FLAIR MR image.
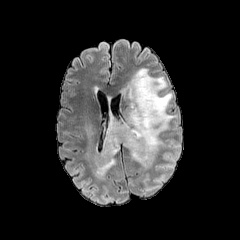
T1-weighted MR image.
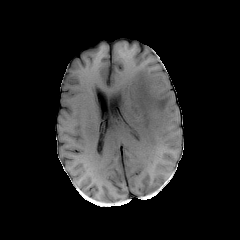
Post-contrast T1-weighted MRI.
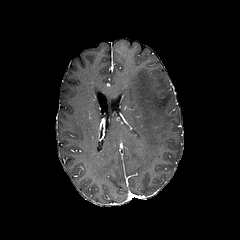
T2-weighted magnetic resonance.
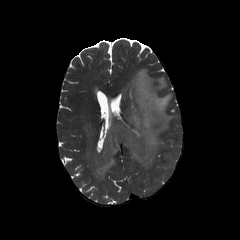
240x240 px
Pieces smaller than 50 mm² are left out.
{
  "peritumoral_edema": [
    "rect(95, 68, 176, 178)"
  ]
}